FLAIR MR image.
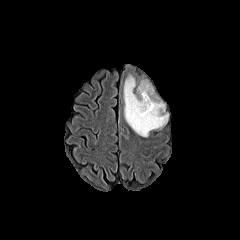
T1-weighted MRI.
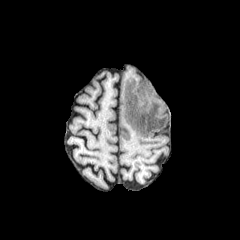
Post-contrast T1-weighted MRI.
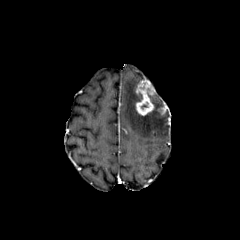
T2-weighted MRI.
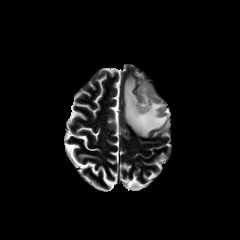
Axial view; 240x240 px; Head
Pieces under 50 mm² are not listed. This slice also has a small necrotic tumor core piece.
enhancing tumor: [135, 78, 155, 115] | peritumoral edema: [123, 75, 168, 137]